Head, Slice 51 of 155
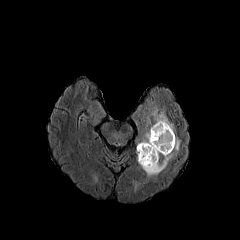
FLAIR MR.
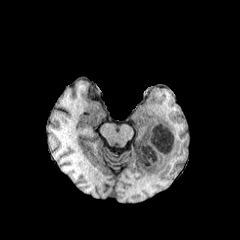
T1-weighted MR image of the same slice.
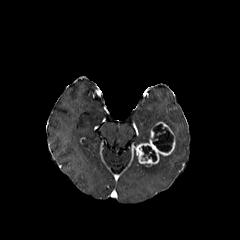
Same slice, post-contrast T1-weighted magnetic resonance.
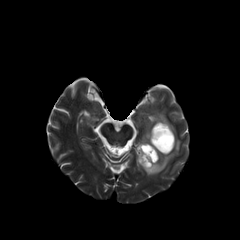
T2-weighted magnetic resonance.
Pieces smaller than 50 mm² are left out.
enhancing_tumor:
  - bbox=[136, 121, 175, 166]
peritumoral_edema:
  - bbox=[137, 130, 150, 145]
  - bbox=[151, 108, 175, 133]
  - bbox=[140, 134, 181, 179]
necrotic_tumor_core:
  - bbox=[152, 124, 173, 152]
  - bbox=[141, 145, 156, 161]